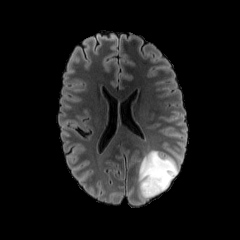
FLAIR MR image.
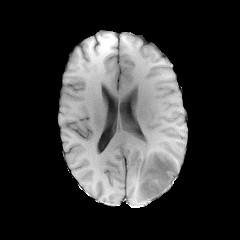
T1-weighted magnetic resonance.
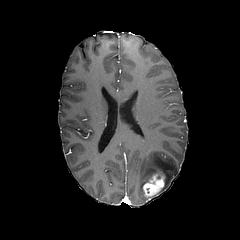
Post-contrast T1-weighted MR image of the same slice.
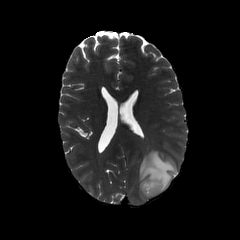
T2-weighted magnetic resonance.
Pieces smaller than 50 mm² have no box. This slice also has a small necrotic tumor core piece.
{
  "peritumoral_edema": [
    "x1=138 y1=150 x2=179 y2=202"
  ],
  "enhancing_tumor": [
    "x1=143 y1=173 x2=165 y2=198"
  ]
}